Axial plane; Brain
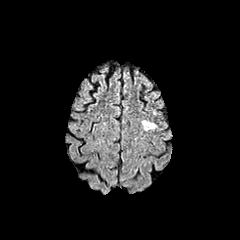
FLAIR MRI.
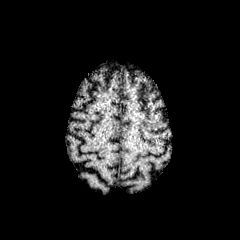
Same slice, T1-weighted MR image.
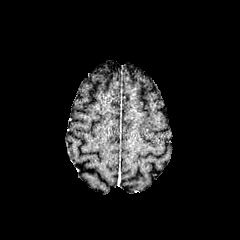
Same slice, post-contrast T1-weighted MR image.
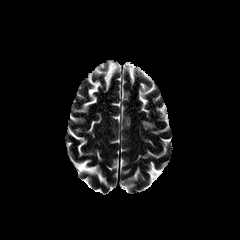
Same slice, T2-weighted MRI.
The peritumoral edema is at x1=142, y1=120, x2=156, y2=130.